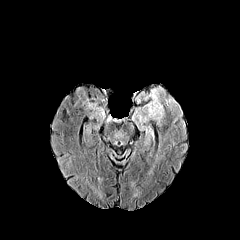
FLAIR MR.
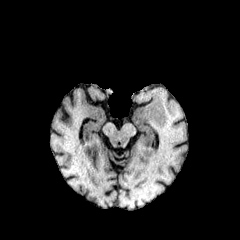
T1-weighted MR image.
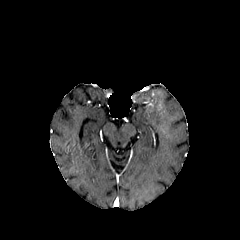
Post-contrast T1-weighted MRI.
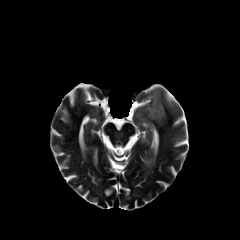
T2-weighted MRI.
Image size 240x240. Axial view.
Segmented structures:
- peritumoral edema: (147,89,163,123)